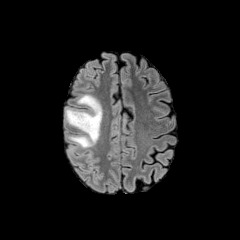
FLAIR magnetic resonance.
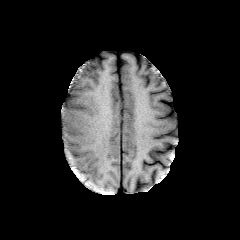
T1-weighted MR image.
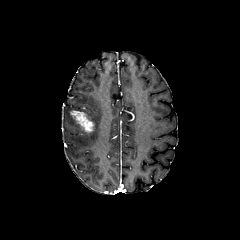
Post-contrast T1-weighted MR of the same slice.
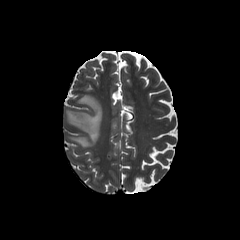
T2-weighted MR.
240x240 px
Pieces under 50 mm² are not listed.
peritumoral_edema:
  - (65, 94, 102, 148)
enhancing_tumor:
  - (70, 110, 94, 133)